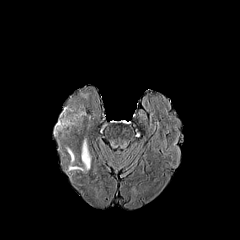
FLAIR MR image.
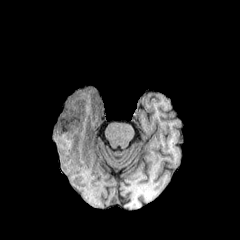
T1-weighted magnetic resonance.
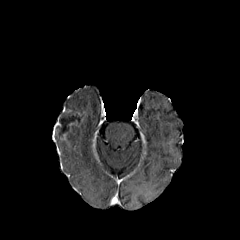
Post-contrast T1-weighted MR of the same slice.
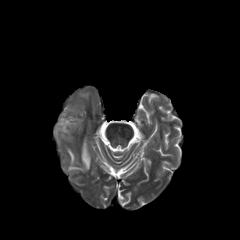
T2-weighted MR.
Axial slice. Head.
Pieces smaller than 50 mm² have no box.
enhancing tumor = 53:115:60:135
peritumoral edema = 67:141:90:170
necrotic tumor core = 55:106:83:139